Brain, Axial slice
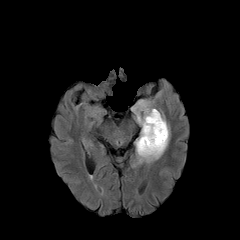
FLAIR MR.
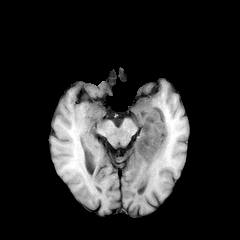
T1-weighted MR image.
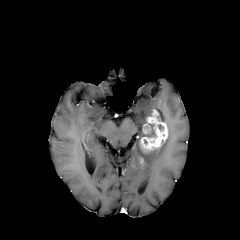
Post-contrast T1-weighted MR.
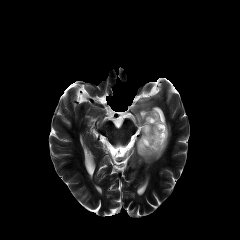
Same slice, T2-weighted MR image.
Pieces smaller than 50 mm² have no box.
<segmentation>
  <necrotic_tumor_core>[146, 124, 154, 137]</necrotic_tumor_core>
  <peritumoral_edema>[133, 100, 153, 126], [135, 121, 169, 163]</peritumoral_edema>
  <enhancing_tumor>[139, 109, 167, 153]</enhancing_tumor>
</segmentation>